FLAIR magnetic resonance.
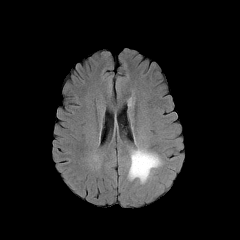
T1-weighted magnetic resonance.
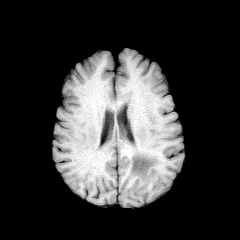
Post-contrast T1-weighted MRI.
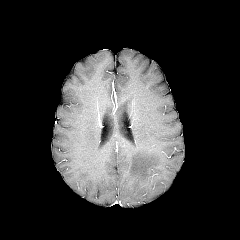
T2-weighted MR.
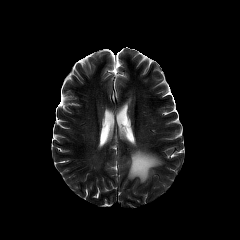
Image size 240x240
peritumoral edema: rect(128, 148, 162, 183)